FLAIR MR image.
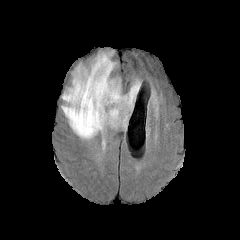
T1-weighted MR.
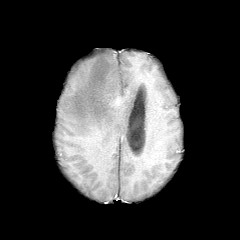
Post-contrast T1-weighted MR image.
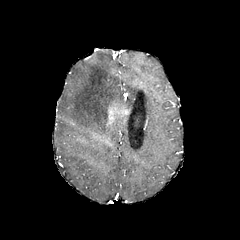
T2-weighted MR.
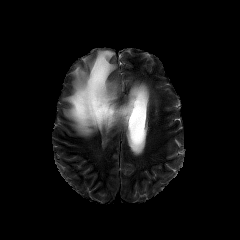
Axial slice | Image size 240x240
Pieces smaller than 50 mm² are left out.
Findings:
• enhancing tumor: bbox(107, 107, 130, 121)
• peritumoral edema: bbox(61, 52, 142, 138)